FLAIR magnetic resonance.
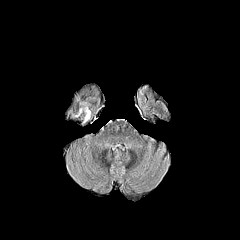
T1-weighted MR.
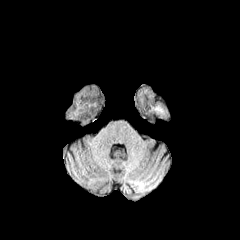
Post-contrast T1-weighted MR image.
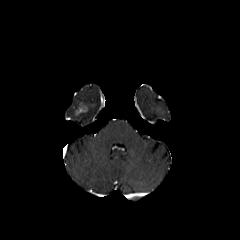
T2-weighted MRI.
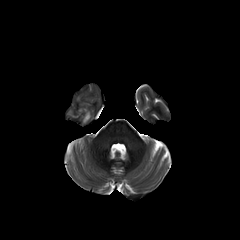
Head
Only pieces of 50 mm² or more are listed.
enhancing_tumor:
  - box(76, 102, 87, 114)
peritumoral_edema:
  - box(83, 102, 90, 122)